Slice 66 of 155 | Axial view | Image size 240x240
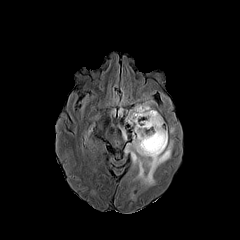
FLAIR MR.
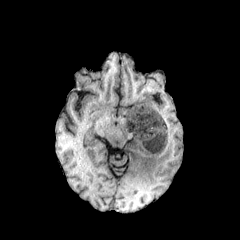
T1-weighted magnetic resonance.
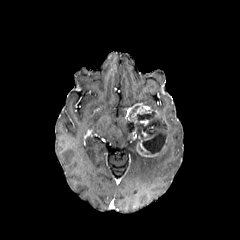
Post-contrast T1-weighted magnetic resonance of the same slice.
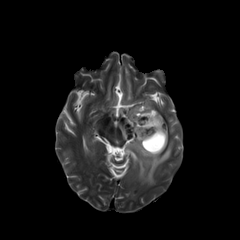
T2-weighted magnetic resonance.
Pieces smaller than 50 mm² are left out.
Segmented structures:
* necrotic tumor core: x1=135, y1=110, x2=166, y2=154
* enhancing tumor: x1=126, y1=104, x2=153, y2=123; x1=136, y1=140, x2=165, y2=157
* peritumoral edema: x1=125, y1=139, x2=173, y2=185; x1=119, y1=125, x2=127, y2=141